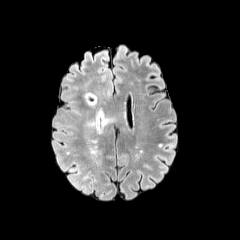
FLAIR MRI.
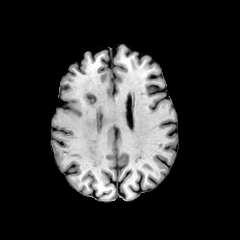
Same slice, T1-weighted magnetic resonance.
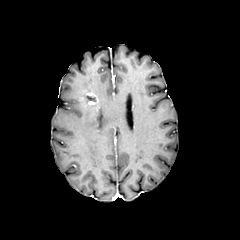
Post-contrast T1-weighted MR image of the same slice.
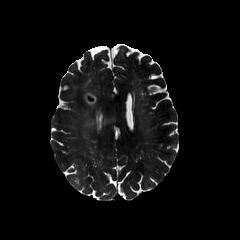
Same slice, T2-weighted MR.
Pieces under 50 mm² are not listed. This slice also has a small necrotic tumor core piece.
Segmented structures:
• enhancing tumor: (x1=86, y1=93, x2=97, y2=104)
• peritumoral edema: (x1=73, y1=80, x2=92, y2=104), (x1=85, y1=118, x2=116, y2=128)